FLAIR MR.
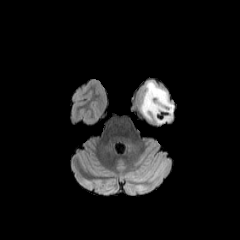
T1-weighted magnetic resonance.
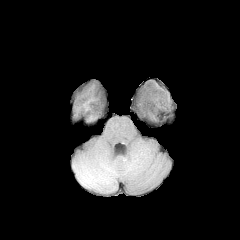
Post-contrast T1-weighted magnetic resonance.
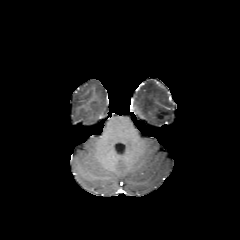
T2-weighted MR.
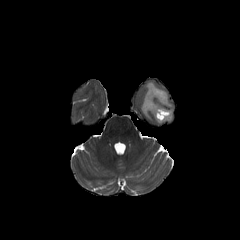
Brain
peritumoral edema at rect(141, 81, 174, 123)